FLAIR MR.
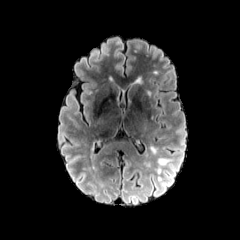
T1-weighted magnetic resonance.
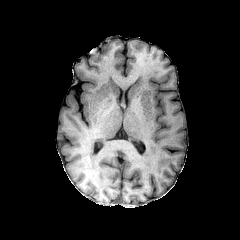
Post-contrast T1-weighted MRI.
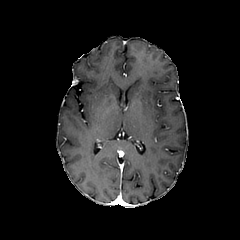
T2-weighted MRI.
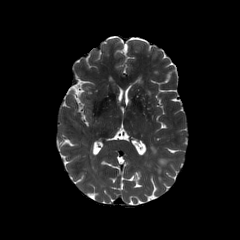
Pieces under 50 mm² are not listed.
Findings:
• peritumoral edema: 158, 158, 171, 165